Axial view; Head
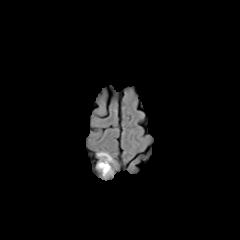
FLAIR MRI.
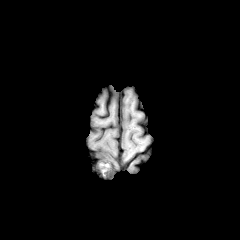
T1-weighted MR image.
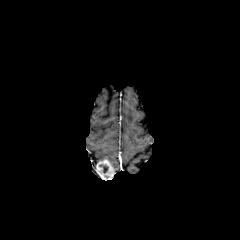
Same slice, post-contrast T1-weighted magnetic resonance.
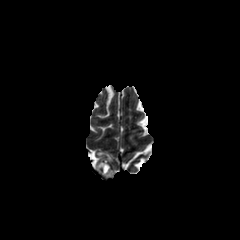
T2-weighted MR.
necrotic tumor core: (x1=99, y1=164, x2=108, y2=173) | peritumoral edema: (x1=97, y1=152, x2=112, y2=161) | enhancing tumor: (x1=96, y1=159, x2=114, y2=177)